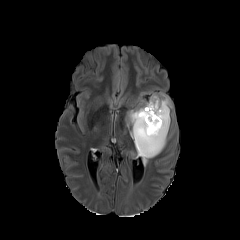
FLAIR MR.
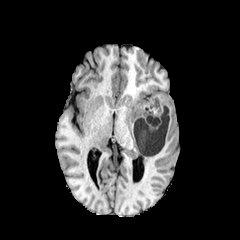
T1-weighted MR image.
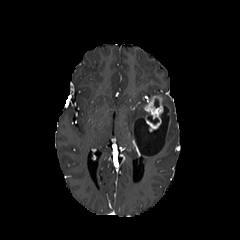
Post-contrast T1-weighted magnetic resonance.
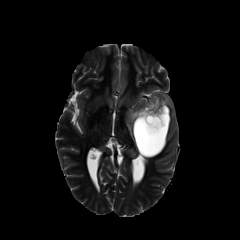
T2-weighted MR image of the same slice.
Head, 240x240 px, Axial view
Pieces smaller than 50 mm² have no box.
* necrotic tumor core: [147, 114, 158, 123]
* enhancing tumor: [144, 95, 163, 131]
* peritumoral edema: [125, 93, 172, 165]